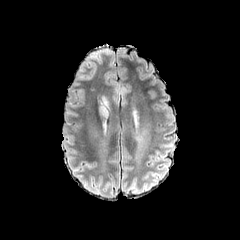
FLAIR MR.
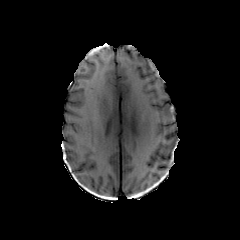
T1-weighted MR of the same slice.
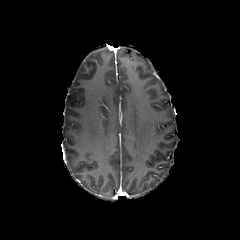
Same slice, post-contrast T1-weighted MRI.
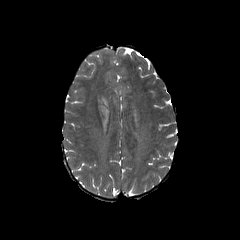
T2-weighted MRI.
Axial plane, Head
Annotated regions:
• peritumoral edema: (left=99, top=95, right=109, bottom=117)